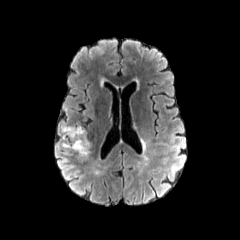
FLAIR MR image.
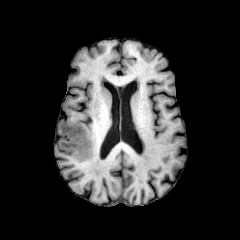
Same slice, T1-weighted MRI.
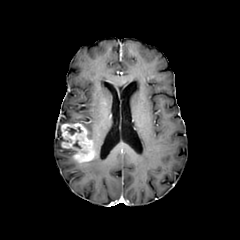
Same slice, post-contrast T1-weighted magnetic resonance.
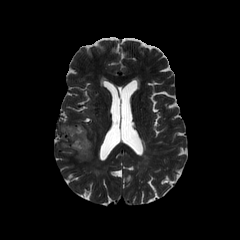
T2-weighted magnetic resonance.
Axial view; Image size 240x240
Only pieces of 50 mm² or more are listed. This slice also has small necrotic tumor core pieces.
The enhancing tumor lies within (x1=61, y1=123, x2=95, y2=162).